Slice index 85. Head. Axial view.
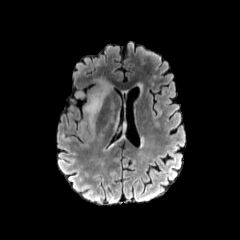
FLAIR MR image.
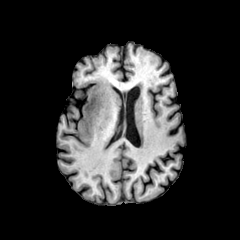
T1-weighted MR of the same slice.
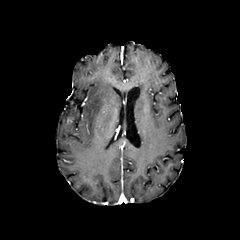
Same slice, post-contrast T1-weighted MR.
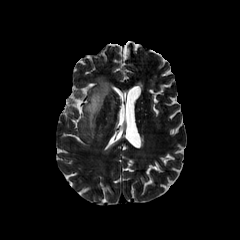
T2-weighted MRI.
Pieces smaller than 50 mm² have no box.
The largest peritumoral edema region lies within 83 78 112 132.